Axial slice; Image size 240x240
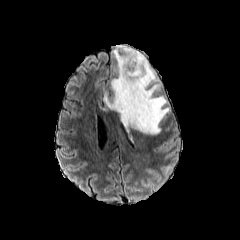
FLAIR MR.
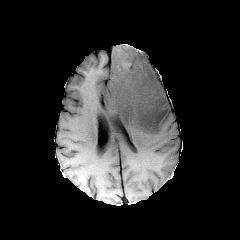
T1-weighted MR of the same slice.
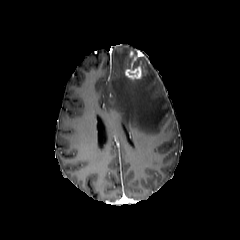
Same slice, post-contrast T1-weighted MR image.
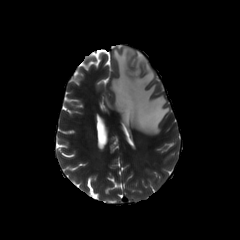
T2-weighted MR image of the same slice.
peritumoral edema at [104, 45, 170, 134]
enhancing tumor at [124, 50, 145, 80]
necrotic tumor core at [133, 57, 144, 68]